FLAIR MRI.
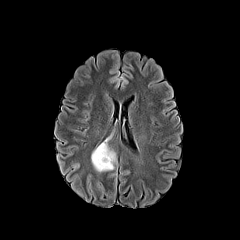
T1-weighted MR image.
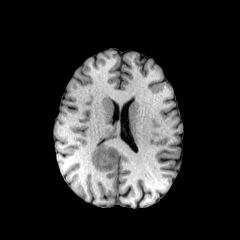
Post-contrast T1-weighted MR.
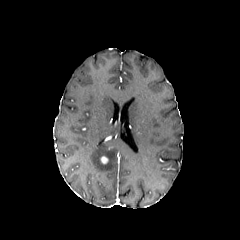
T2-weighted MR image.
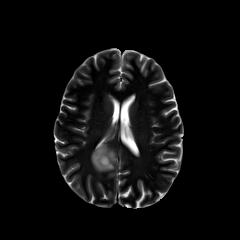
Axial slice, 240x240 px, Head
Findings:
• peritumoral edema: (91, 143, 116, 172)
• enhancing tumor: (100, 156, 107, 164)